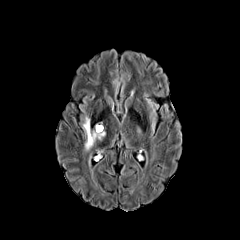
FLAIR magnetic resonance.
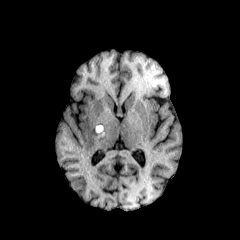
Same slice, T1-weighted magnetic resonance.
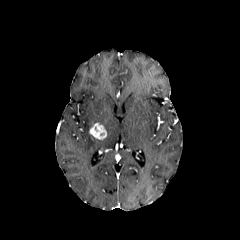
Post-contrast T1-weighted MR image of the same slice.
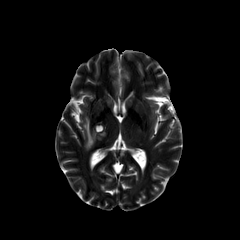
T2-weighted MR of the same slice.
peritumoral edema at (x1=83, y1=116, x2=97, y2=150)
enhancing tumor at (x1=89, y1=123, x2=106, y2=139)